FLAIR MR image.
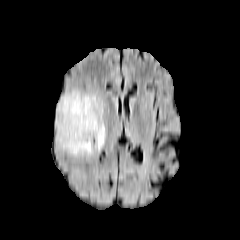
T1-weighted MR image.
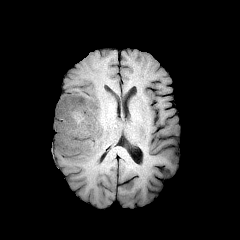
Post-contrast T1-weighted magnetic resonance.
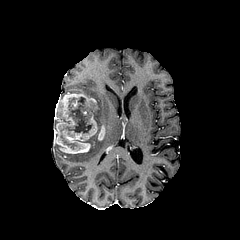
T2-weighted MRI.
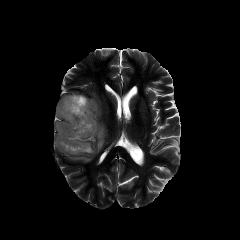
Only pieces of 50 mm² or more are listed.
peritumoral edema: bounding box [70, 102, 105, 159]
necrotic tumor core: bounding box [65, 97, 94, 133], [61, 135, 76, 148]
enhancing tumor: bounding box [98, 125, 105, 140], [55, 93, 98, 153]